Image size 240x240. Axial plane.
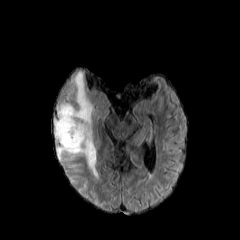
FLAIR MRI.
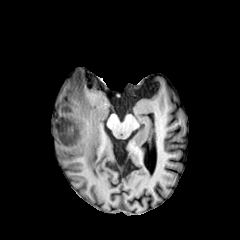
Same slice, T1-weighted MR.
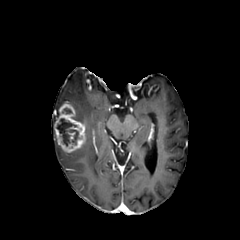
Same slice, post-contrast T1-weighted MR.
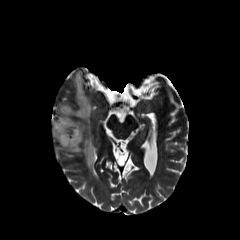
T2-weighted MR image.
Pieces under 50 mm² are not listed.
The largest necrotic tumor core region is at [57,118,78,146]. The largest peritumoral edema region is at [56,71,98,177]. The largest enhancing tumor region is located at [54,102,85,152].